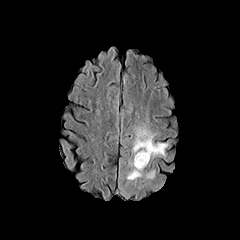
FLAIR MRI.
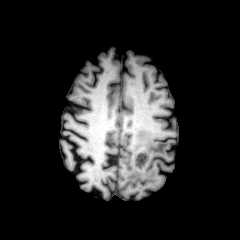
Same slice, T1-weighted MRI.
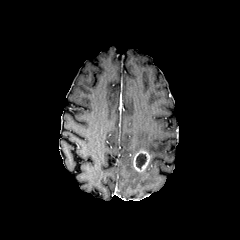
Post-contrast T1-weighted MR image.
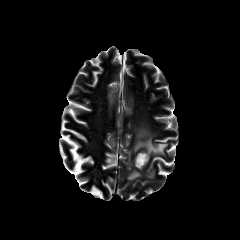
T2-weighted MR image.
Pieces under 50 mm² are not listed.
The enhancing tumor lies within 133,150,150,171. The necrotic tumor core appears at 136,153,146,168. The 3 largest peritumoral edema regions are bounded by 127,168,142,182; 146,169,155,178; 132,128,168,156.